FLAIR MR image.
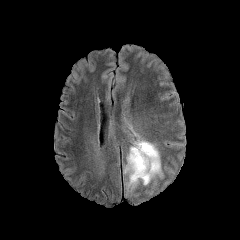
T1-weighted MRI.
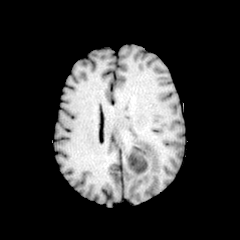
Post-contrast T1-weighted MRI.
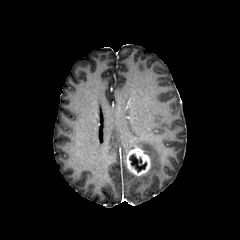
T2-weighted MRI.
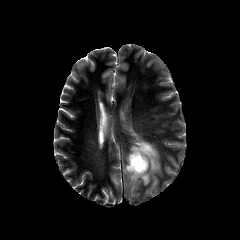
Axial slice
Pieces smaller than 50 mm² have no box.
The necrotic tumor core is at 129 154 146 172. The enhancing tumor appears at 126 146 150 176. The largest peritumoral edema region appears at 124 136 160 187.